FLAIR magnetic resonance.
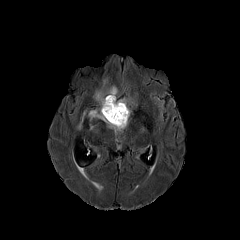
T1-weighted MR.
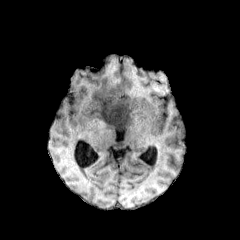
Post-contrast T1-weighted MR image.
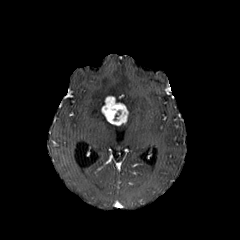
T2-weighted MRI.
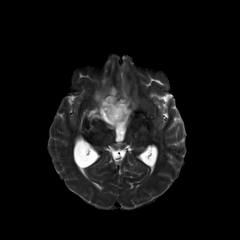
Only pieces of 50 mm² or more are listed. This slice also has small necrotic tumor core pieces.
peritumoral edema = 88,79,131,133; 78,111,85,128
enhancing tumor = 101,96,128,126